Head | Image covers 240 mm x 240 mm | Axial view
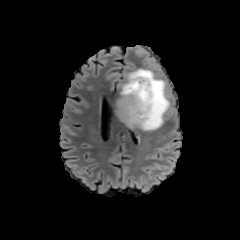
FLAIR MR.
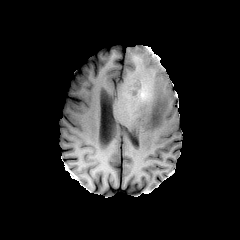
T1-weighted MR of the same slice.
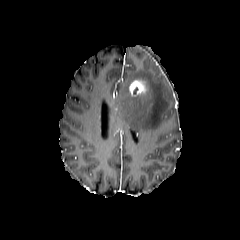
Same slice, post-contrast T1-weighted magnetic resonance.
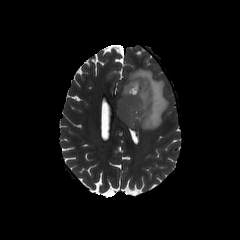
T2-weighted MR image.
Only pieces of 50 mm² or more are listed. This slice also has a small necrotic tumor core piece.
The peritumoral edema is at 116:69:169:131. The enhancing tumor appears at 128:79:147:96.